FLAIR magnetic resonance.
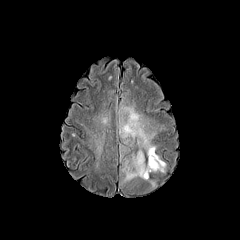
T1-weighted MRI.
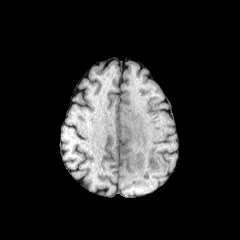
Post-contrast T1-weighted magnetic resonance.
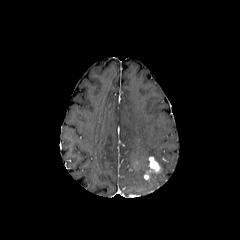
T2-weighted MRI.
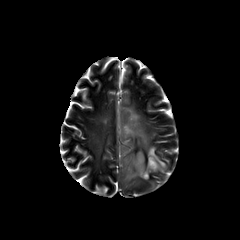
Image size 240x240; Brain
enhancing_tumor:
  - (x1=143, y1=156, x2=160, y2=179)
  - (x1=133, y1=160, x2=140, y2=168)
peritumoral_edema:
  - (x1=94, y1=109, x2=110, y2=127)
  - (x1=84, y1=125, x2=106, y2=166)
  - (x1=146, y1=178, x2=157, y2=192)
  - (x1=116, y1=90, x2=166, y2=187)